Axial slice | 240x240 px
FLAIR magnetic resonance.
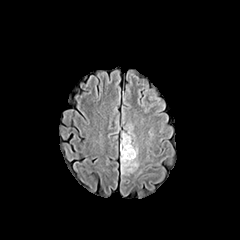
T1-weighted magnetic resonance.
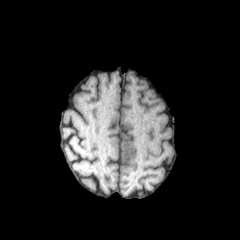
Post-contrast T1-weighted MR image.
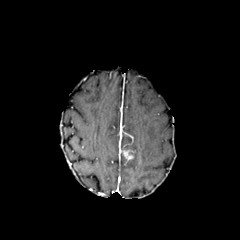
T2-weighted MR.
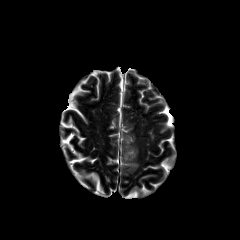
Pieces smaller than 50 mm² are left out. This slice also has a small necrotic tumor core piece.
The enhancing tumor is at (x1=121, y1=149, x2=134, y2=159). The largest peritumoral edema region is at (x1=121, y1=133, x2=138, y2=174).